Brain, Axial plane
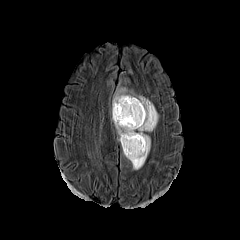
FLAIR MR image.
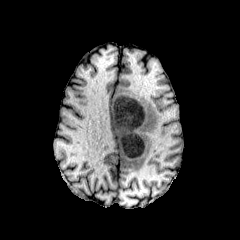
Same slice, T1-weighted MR image.
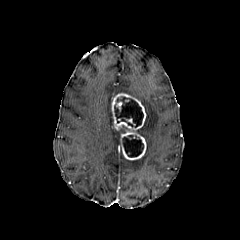
Post-contrast T1-weighted MRI of the same slice.
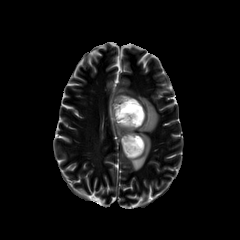
T2-weighted magnetic resonance of the same slice.
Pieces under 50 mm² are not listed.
peritumoral edema: <bbox>115, 87, 158, 169</bbox>, <bbox>117, 125, 126, 140</bbox> | necrotic tumor core: <bbox>114, 97, 143, 127</bbox>, <bbox>122, 135, 143, 157</bbox> | enhancing tumor: <bbox>111, 93, 146, 160</bbox>